Head; Image size 240x240; Image covers 240 mm x 240 mm
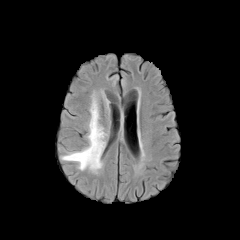
FLAIR MRI.
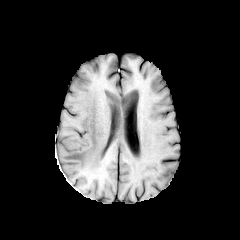
T1-weighted magnetic resonance of the same slice.
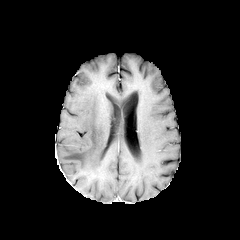
Post-contrast T1-weighted MR.
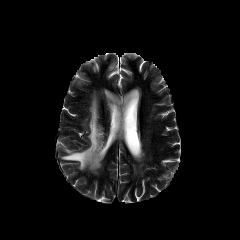
T2-weighted MR image.
peritumoral edema: (left=61, top=95, right=105, bottom=171)